240x240 px. Axial slice. Image width 240 mm.
FLAIR MR image.
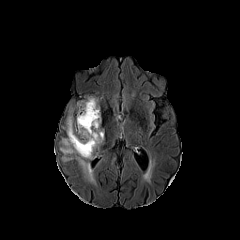
T1-weighted MR image.
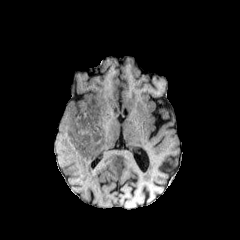
Post-contrast T1-weighted magnetic resonance.
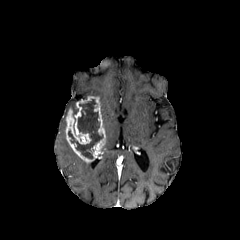
T2-weighted MR.
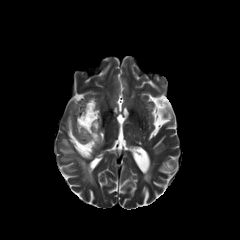
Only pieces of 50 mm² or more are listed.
The largest peritumoral edema region lies within bbox=[60, 138, 95, 183]. The largest necrotic tumor core region is bounded by bbox=[68, 99, 102, 158]. The enhancing tumor is bounded by bbox=[65, 96, 105, 163].